Head, Axial plane, Slice index 97
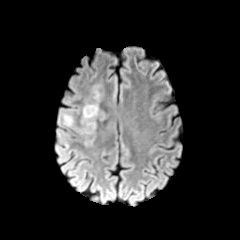
FLAIR MR image.
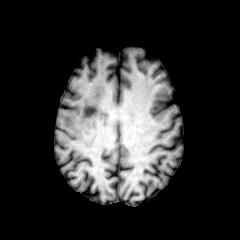
Same slice, T1-weighted MR image.
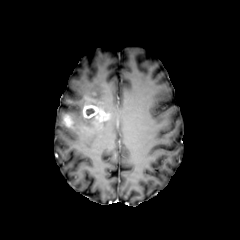
Post-contrast T1-weighted MR image.
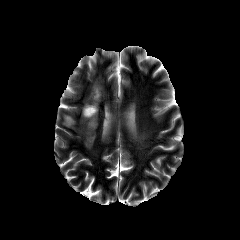
T2-weighted magnetic resonance of the same slice.
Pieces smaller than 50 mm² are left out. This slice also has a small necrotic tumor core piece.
<segmentation>
  <enhancing_tumor>(left=63, top=114, right=73, bottom=127), (left=82, top=105, right=100, bottom=118)</enhancing_tumor>
  <peritumoral_edema>(left=83, top=116, right=96, bottom=128)</peritumoral_edema>
</segmentation>